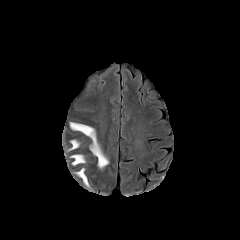
FLAIR magnetic resonance.
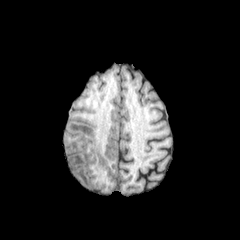
T1-weighted MR.
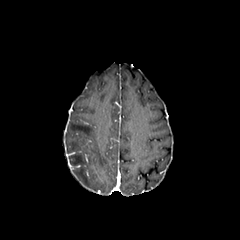
Same slice, post-contrast T1-weighted MRI.
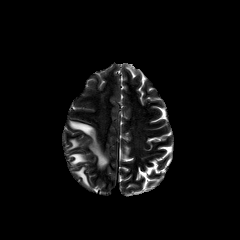
Same slice, T2-weighted magnetic resonance.
Brain
<segmentation>
  <peritumoral_edema>70:154:85:165, 69:122:108:169, 68:139:80:150, 75:168:89:187</peritumoral_edema>
</segmentation>